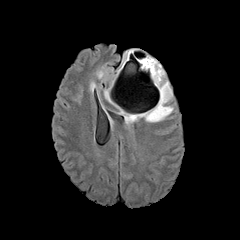
FLAIR MR image.
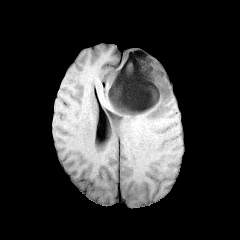
T1-weighted magnetic resonance.
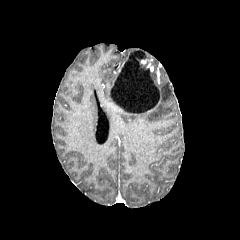
Post-contrast T1-weighted MR image.
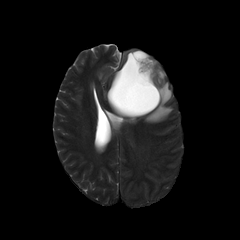
T2-weighted MRI.
Head, Axial view
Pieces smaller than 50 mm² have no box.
peritumoral edema: bounding box [125,60,172,122]
necrotic tumor core: bounding box [109,50,159,114]
enhancing tumor: bounding box [143,59,153,71]